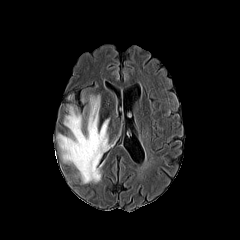
FLAIR MR.
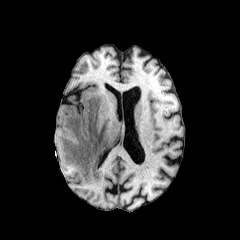
Same slice, T1-weighted MR image.
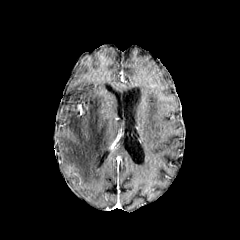
Post-contrast T1-weighted MRI.
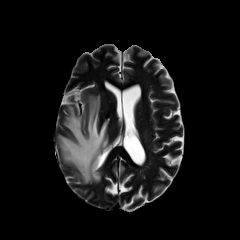
Same slice, T2-weighted magnetic resonance.
peritumoral edema: (57, 95, 109, 183)